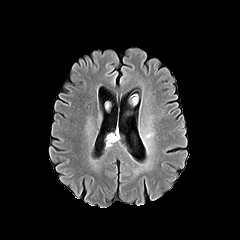
FLAIR MR image.
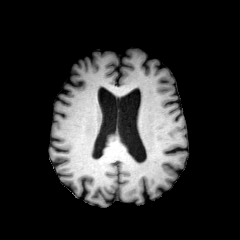
Same slice, T1-weighted MR.
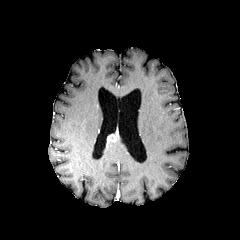
Same slice, post-contrast T1-weighted MR image.
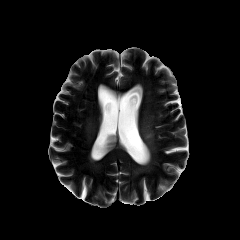
T2-weighted MR image.
Axial slice. 240x240.
enhancing_tumor:
  - 108:135:115:142